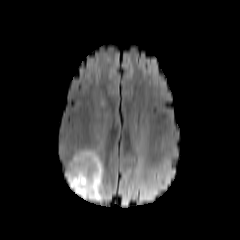
FLAIR MR image.
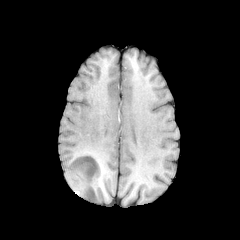
T1-weighted magnetic resonance.
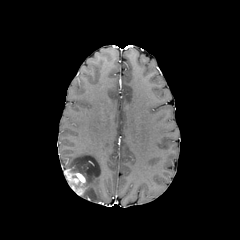
Post-contrast T1-weighted magnetic resonance of the same slice.
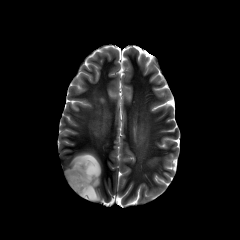
T2-weighted MR image.
Brain
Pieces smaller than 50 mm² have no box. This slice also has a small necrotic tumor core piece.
- enhancing tumor: box=[64, 169, 87, 196]
- peritumoral edema: box=[68, 150, 104, 201]